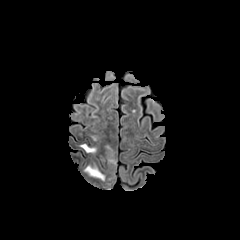
FLAIR MRI.
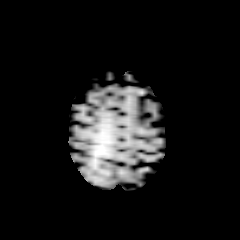
T1-weighted MR.
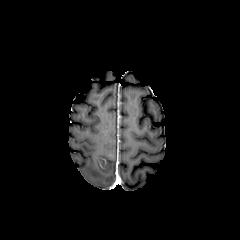
Same slice, post-contrast T1-weighted MR.
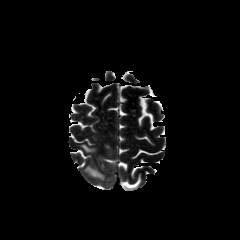
T2-weighted MR image of the same slice.
Axial slice. 240x240 px. Head.
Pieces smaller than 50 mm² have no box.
<segmentation>
  <peritumoral_edema>left=80, top=144, right=96, bottom=152; left=84, top=165, right=104, bottom=180</peritumoral_edema>
</segmentation>